FLAIR MR.
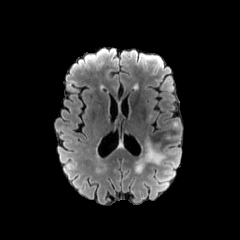
T1-weighted MR image.
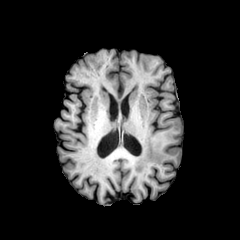
Post-contrast T1-weighted magnetic resonance.
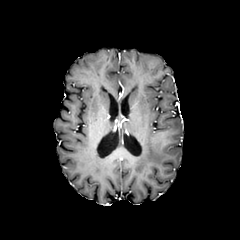
T2-weighted MRI.
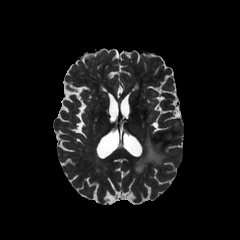
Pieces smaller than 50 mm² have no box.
Findings:
* peritumoral edema: box(134, 141, 164, 173)